FLAIR magnetic resonance.
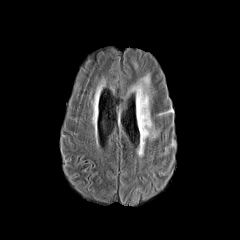
T1-weighted MR image.
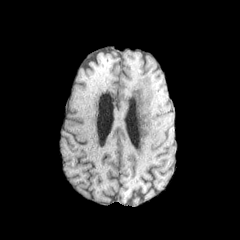
Post-contrast T1-weighted magnetic resonance.
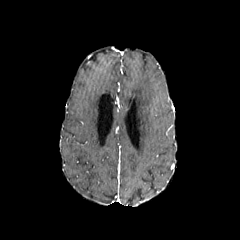
T2-weighted magnetic resonance.
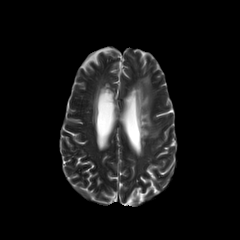
Axial slice | Brain
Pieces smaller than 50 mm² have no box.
The largest peritumoral edema region appears at (x1=131, y1=74, x2=156, y2=156).